FLAIR magnetic resonance.
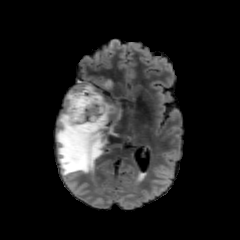
T1-weighted MR.
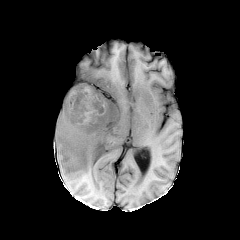
Post-contrast T1-weighted MRI.
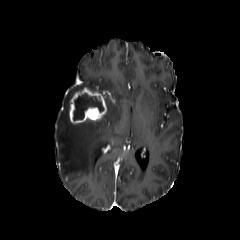
T2-weighted MR.
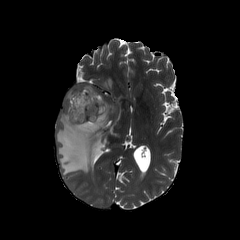
Axial slice
The enhancing tumor is at 69,87,107,124. The peritumoral edema is located at 56,80,122,175. The necrotic tumor core is bounded by 73,93,103,120.